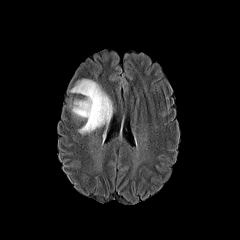
FLAIR MR.
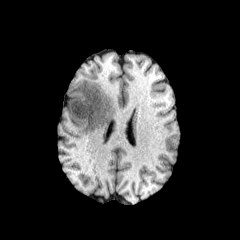
T1-weighted magnetic resonance of the same slice.
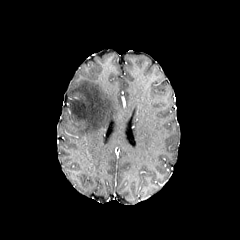
Post-contrast T1-weighted MR image.
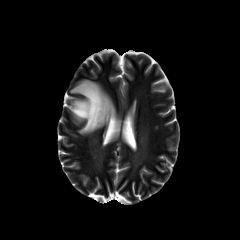
T2-weighted MR.
Axial view; 240x240
peritumoral edema = rect(70, 79, 113, 134)